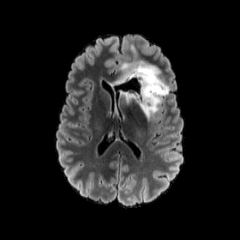
FLAIR MR image.
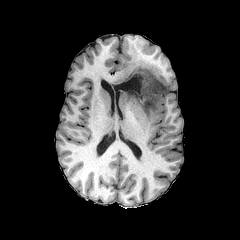
T1-weighted MRI.
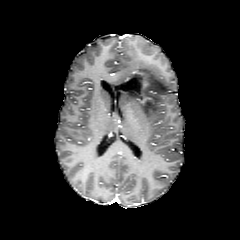
Post-contrast T1-weighted MR image.
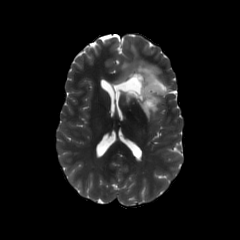
Same slice, T2-weighted magnetic resonance.
Brain; Axial view
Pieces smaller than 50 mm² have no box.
The largest peritumoral edema region appears at l=112, t=60, r=169, b=119. The necrotic tumor core is located at l=113, t=77, r=139, b=92. The 2 largest enhancing tumor regions are bounded by l=138, t=97, r=153, b=104; l=132, t=70, r=148, b=88.